FLAIR MRI.
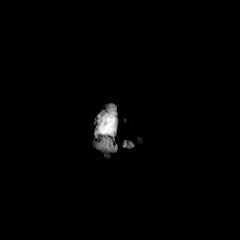
T1-weighted MR.
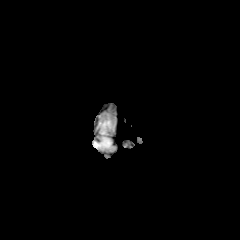
Post-contrast T1-weighted MR image.
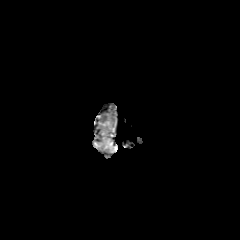
T2-weighted magnetic resonance.
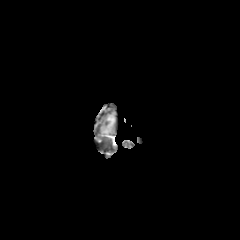
Brain; 240x240
{"peritumoral_edema": ["region(98, 110, 115, 134)"]}